Slice index 60
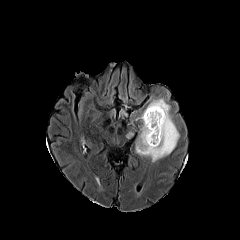
FLAIR MR image.
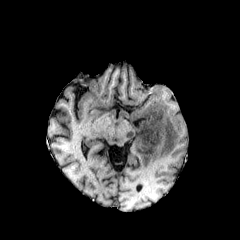
T1-weighted MRI.
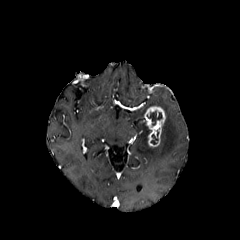
Same slice, post-contrast T1-weighted MR image.
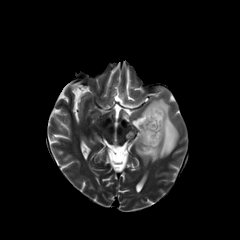
T2-weighted magnetic resonance.
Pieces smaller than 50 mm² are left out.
necrotic tumor core — {"x1": 151, "y1": 131, "x2": 158, "y2": 144}, {"x1": 144, "y1": 121, "x2": 151, "y2": 143}, {"x1": 147, "y1": 111, "x2": 162, "y2": 126}
enhancing tumor — {"x1": 143, "y1": 105, "x2": 165, "y2": 147}
peritumoral edema — {"x1": 135, "y1": 97, "x2": 179, "y2": 162}